FLAIR MR image.
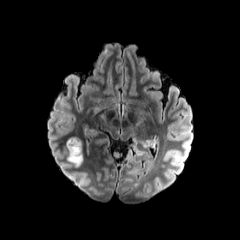
T1-weighted MRI.
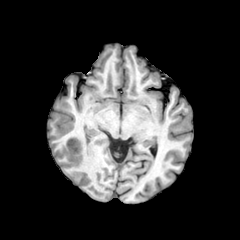
Post-contrast T1-weighted MR.
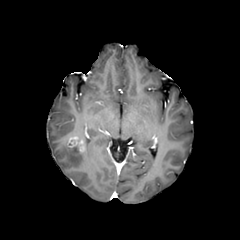
T2-weighted MRI.
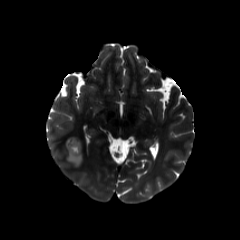
* peritumoral edema: region(66, 140, 83, 167)
* enhancing tumor: region(67, 136, 83, 151)